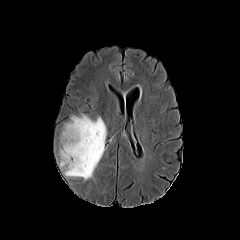
FLAIR MR image.
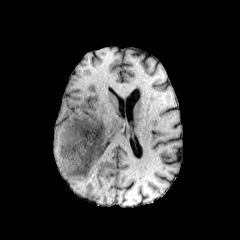
T1-weighted magnetic resonance of the same slice.
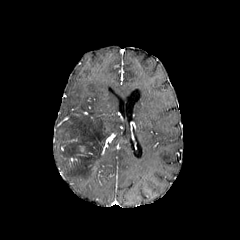
Post-contrast T1-weighted MR image.
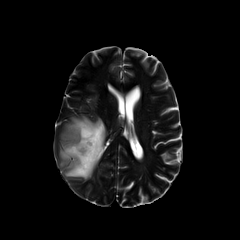
T2-weighted MR image.
Axial slice, 240x240
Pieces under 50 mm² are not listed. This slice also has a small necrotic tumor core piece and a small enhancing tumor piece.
The peritumoral edema appears at box(59, 116, 106, 180).